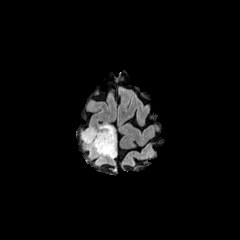
FLAIR magnetic resonance.
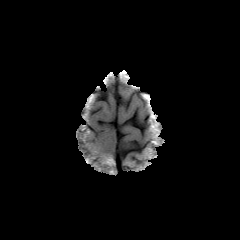
Same slice, T1-weighted magnetic resonance.
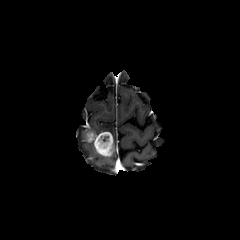
Post-contrast T1-weighted MR image.
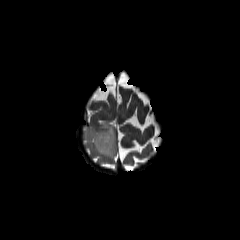
T2-weighted magnetic resonance.
Head
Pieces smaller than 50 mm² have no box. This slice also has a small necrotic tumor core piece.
enhancing_tumor:
  - [86,132,114,156]
peritumoral_edema:
  - [82,124,115,159]